Axial view, 240x240
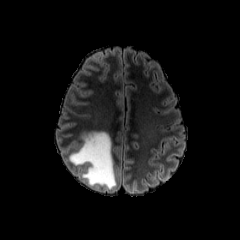
FLAIR MRI.
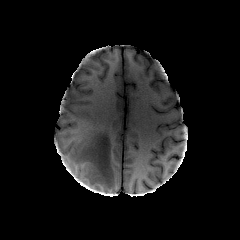
T1-weighted magnetic resonance.
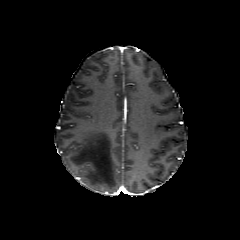
Post-contrast T1-weighted MR image.
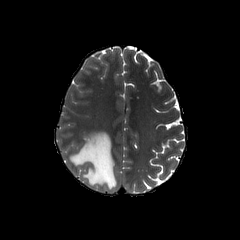
Same slice, T2-weighted magnetic resonance.
peritumoral_edema:
  - 69, 131, 116, 189